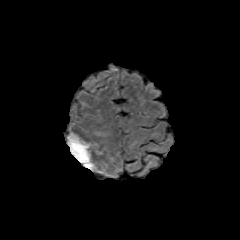
FLAIR MR image.
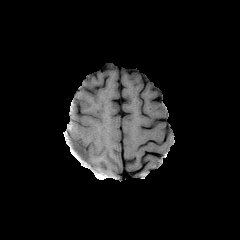
T1-weighted MR image.
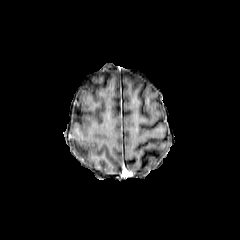
Post-contrast T1-weighted magnetic resonance.
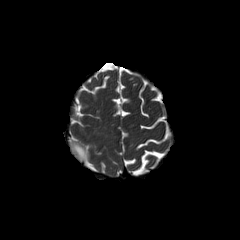
T2-weighted MR.
peritumoral edema at 68:133:93:168